Brain | Slice 66 of 155
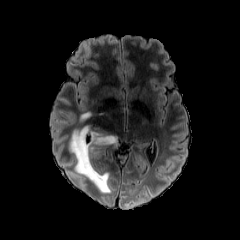
FLAIR MR.
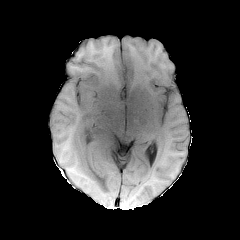
Same slice, T1-weighted magnetic resonance.
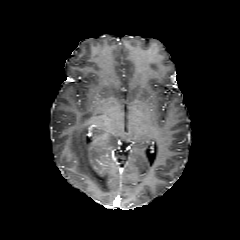
Post-contrast T1-weighted MRI.
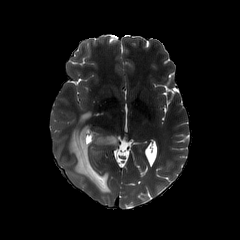
T2-weighted MR image.
2 peritumoral edema regions are located at rect(69, 126, 117, 192); rect(80, 112, 91, 122).